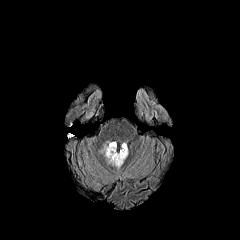
FLAIR MR.
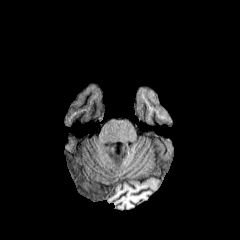
T1-weighted MRI.
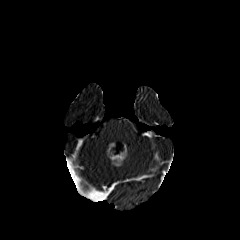
Post-contrast T1-weighted MR.
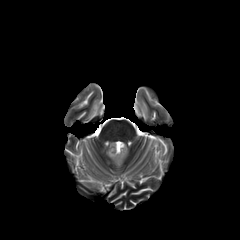
Same slice, T2-weighted MRI.
Axial slice.
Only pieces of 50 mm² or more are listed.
The largest peritumoral edema region is bounded by <box>100,141,111,163</box>. The enhancing tumor is located at <box>107,142,127,166</box>.